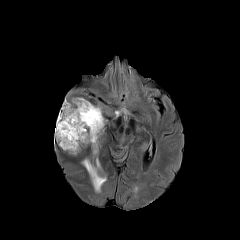
FLAIR MRI.
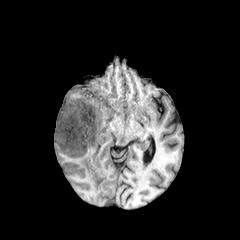
T1-weighted MR of the same slice.
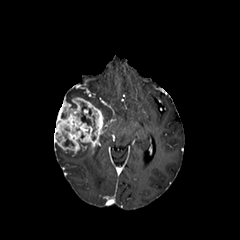
Post-contrast T1-weighted MR image of the same slice.
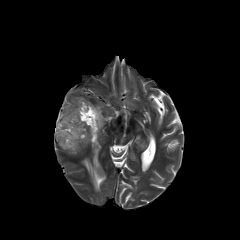
T2-weighted magnetic resonance.
Axial slice.
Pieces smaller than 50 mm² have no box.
enhancing_tumor:
  - x1=54, y1=97, x2=103, y2=154
necrotic_tumor_core:
  - x1=81, y1=102, x2=91, y2=124
peritumoral_edema:
  - x1=82, y1=159, x2=106, y2=192
  - x1=65, y1=88, x2=83, y2=107